Head | Image width 240 mm | 240x240 | Axial plane
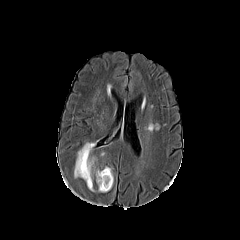
FLAIR MR image.
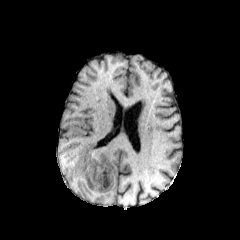
T1-weighted MR of the same slice.
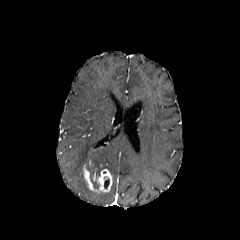
Post-contrast T1-weighted magnetic resonance.
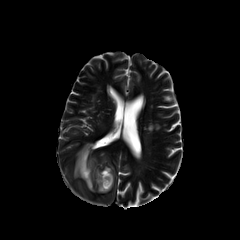
T2-weighted MR.
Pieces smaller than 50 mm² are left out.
The largest peritumoral edema region is at [74, 142, 95, 178]. The largest necrotic tumor core region is located at [104, 176, 109, 188]. The largest enhancing tumor region is located at [82, 164, 112, 192].